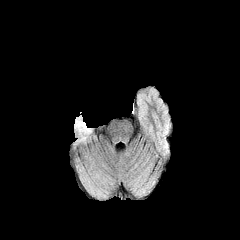
FLAIR MR image.
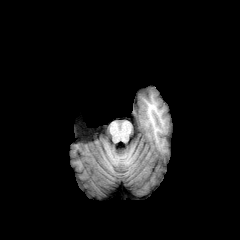
T1-weighted MRI.
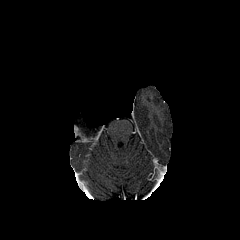
Post-contrast T1-weighted MR image.
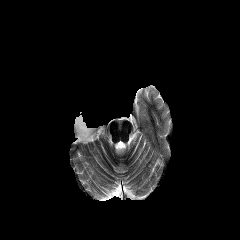
T2-weighted MR image of the same slice.
Brain
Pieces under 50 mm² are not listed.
The largest peritumoral edema region is bounded by box=[74, 115, 93, 138]. The enhancing tumor is bounded by box=[74, 125, 92, 142].